Head | Image width 240 mm
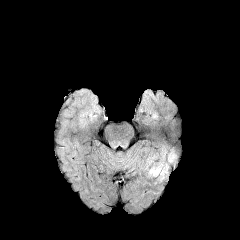
FLAIR MRI.
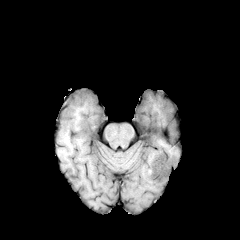
T1-weighted MRI of the same slice.
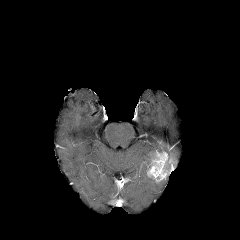
Post-contrast T1-weighted MR of the same slice.
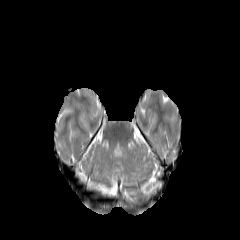
T2-weighted MR of the same slice.
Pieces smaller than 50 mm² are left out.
The enhancing tumor lies within (left=146, top=151, right=174, bottom=182). The largest peritumoral edema region is located at (left=144, top=154, right=153, bottom=170).